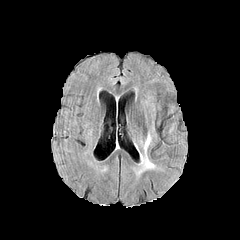
FLAIR magnetic resonance.
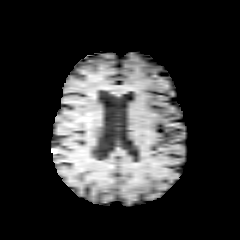
T1-weighted MR of the same slice.
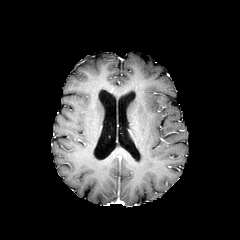
Post-contrast T1-weighted MR image of the same slice.
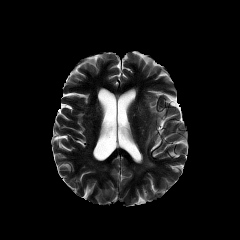
T2-weighted MR image.
Brain
2 peritumoral edema regions appear at 145 159 154 167, 145 135 150 150.